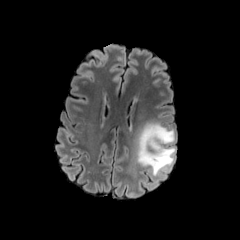
FLAIR MR image.
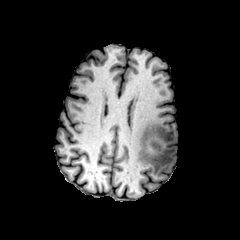
T1-weighted magnetic resonance.
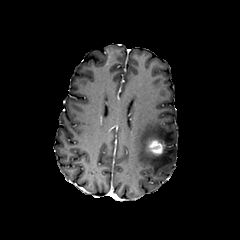
Post-contrast T1-weighted MR.
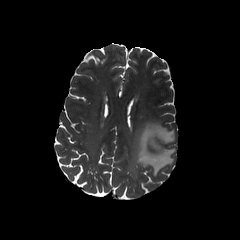
T2-weighted magnetic resonance of the same slice.
240x240 px.
enhancing tumor: bounding box 148, 139, 163, 155
peritumoral edema: bounding box 136, 121, 176, 175